FLAIR MRI.
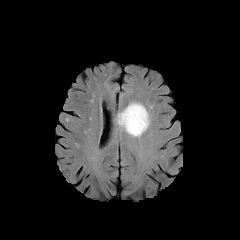
T1-weighted MRI.
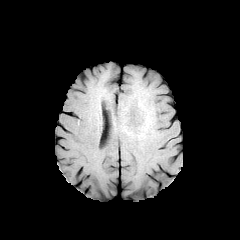
Post-contrast T1-weighted magnetic resonance.
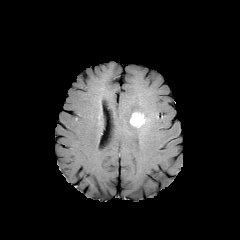
T2-weighted MR image.
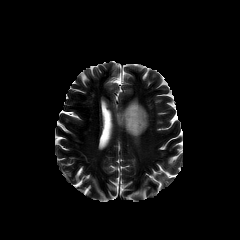
Image size 240x240. Head. Axial slice.
enhancing tumor at [129, 111, 146, 128]
peritumoral edema at [117, 102, 150, 137]